FLAIR magnetic resonance.
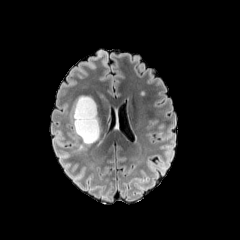
T1-weighted MR image.
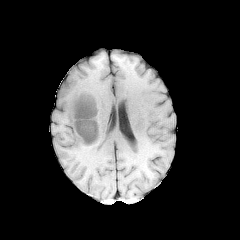
Post-contrast T1-weighted MR image.
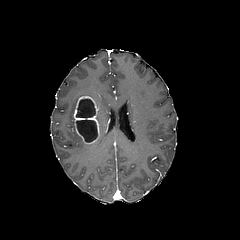
T2-weighted MR.
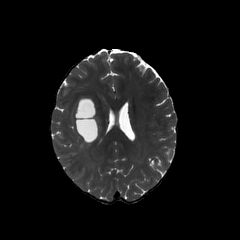
Brain, 240x240, Axial view
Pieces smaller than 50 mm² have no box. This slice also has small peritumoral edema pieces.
<segmentation>
  <enhancing_tumor>73 95 99 144</enhancing_tumor>
  <necrotic_tumor_core>77 120 97 142, 76 99 94 117</necrotic_tumor_core>
</segmentation>